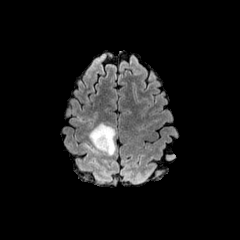
FLAIR MR image.
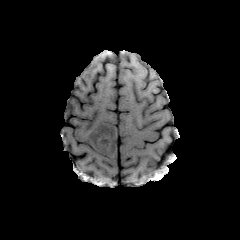
T1-weighted MR.
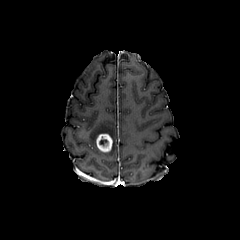
Post-contrast T1-weighted MRI.
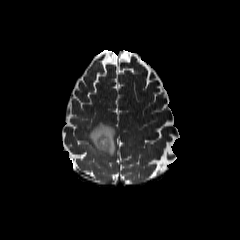
T2-weighted MRI of the same slice.
Head
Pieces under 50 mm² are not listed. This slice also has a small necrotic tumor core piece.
{"peritumoral_edema": ["rect(83, 123, 115, 155)"], "enhancing_tumor": ["rect(95, 133, 113, 152)"]}